Head | 240x240 | Image width 240 mm
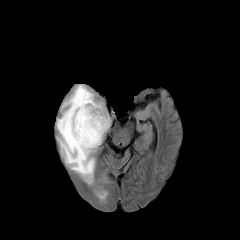
FLAIR MR.
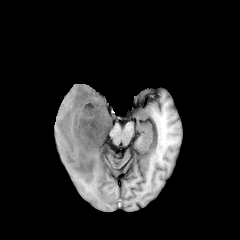
T1-weighted MR.
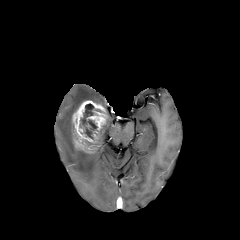
Post-contrast T1-weighted MR image of the same slice.
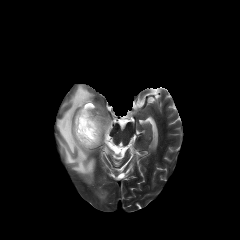
T2-weighted MR of the same slice.
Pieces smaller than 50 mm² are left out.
peritumoral_edema:
  - <box>100,118,110,143</box>
  - <box>56,84,100,183</box>
necrotic_tumor_core:
  - <box>80,104,97,138</box>
enhancing_tumor:
  - <box>72,100,109,153</box>